FLAIR magnetic resonance.
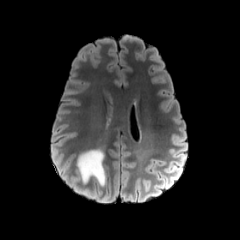
T1-weighted MR.
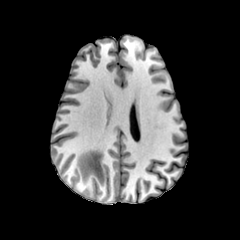
Post-contrast T1-weighted MR.
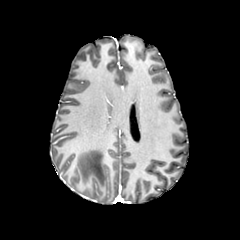
T2-weighted magnetic resonance.
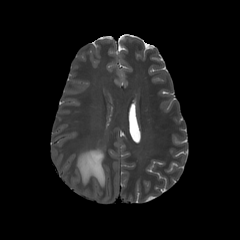
Axial slice | 240x240
Annotated regions:
* peritumoral edema: 78:149:105:185